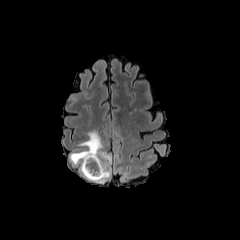
FLAIR MR.
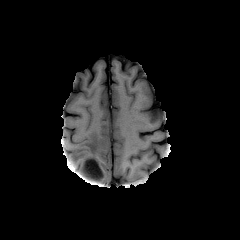
T1-weighted MR.
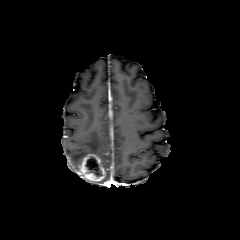
Same slice, post-contrast T1-weighted magnetic resonance.
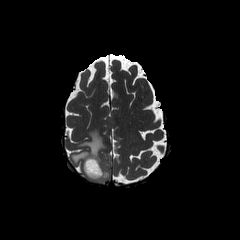
T2-weighted MR.
The necrotic tumor core is located at rect(85, 157, 101, 176). The peritumoral edema is bounded by rect(70, 131, 111, 183). The enhancing tumor is at rect(79, 153, 105, 181).